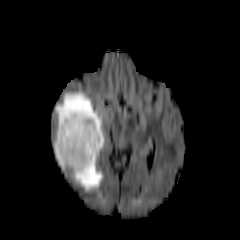
FLAIR MR.
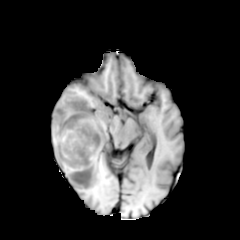
Same slice, T1-weighted MRI.
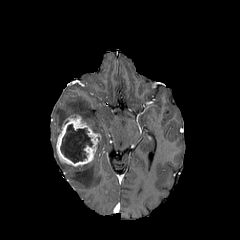
Same slice, post-contrast T1-weighted magnetic resonance.
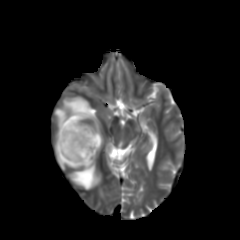
Same slice, T2-weighted MRI.
Image size 240x240. Axial slice. Brain.
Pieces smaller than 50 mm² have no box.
peritumoral edema: bounding box box(55, 92, 104, 192); box(54, 143, 64, 171)
enhancing tumor: bounding box box(56, 114, 100, 166)
necrotic tumor core: bounding box box(61, 124, 92, 162)